FLAIR MRI.
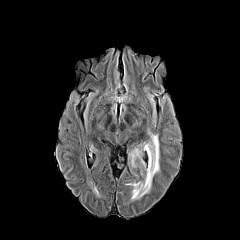
T1-weighted MRI.
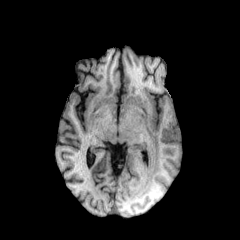
Post-contrast T1-weighted magnetic resonance.
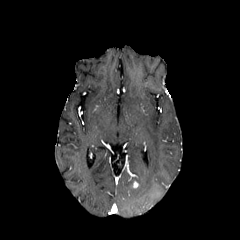
T2-weighted MRI.
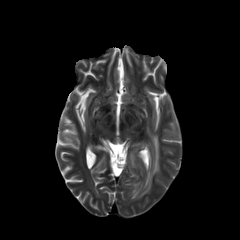
Head
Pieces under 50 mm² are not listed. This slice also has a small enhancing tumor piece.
peritumoral edema: [x1=130, y1=149, x2=138, y2=166], [x1=131, y1=134, x2=159, y2=199]